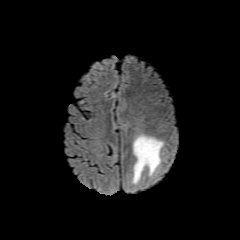
FLAIR MR image.
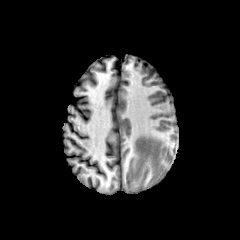
T1-weighted MR of the same slice.
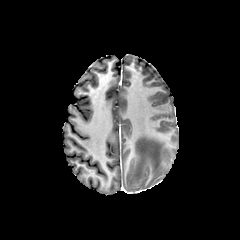
Post-contrast T1-weighted magnetic resonance.
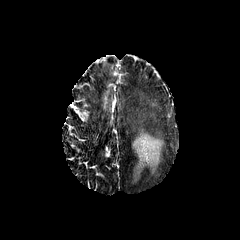
Same slice, T2-weighted MR image.
Axial plane | Brain
peritumoral edema: (131,134,164,184)